Slice 101 of 155 | 240x240 px | Axial view | Image width 240 mm | Head
FLAIR MRI.
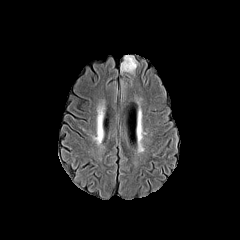
T1-weighted MRI.
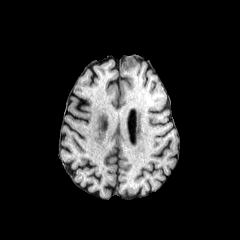
Post-contrast T1-weighted MR.
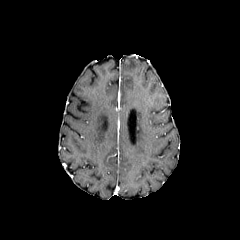
T2-weighted MR image.
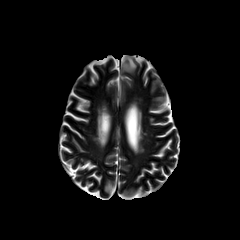
peritumoral_edema:
  - [121, 55, 137, 73]